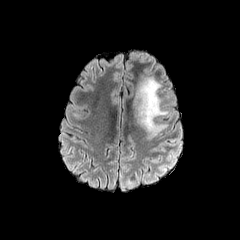
FLAIR MRI.
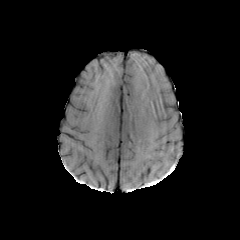
T1-weighted magnetic resonance of the same slice.
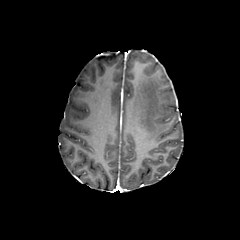
Post-contrast T1-weighted MR of the same slice.
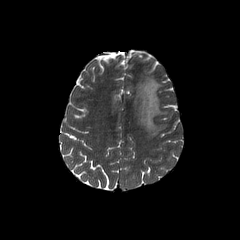
Same slice, T2-weighted MR.
Brain | Image size 240x240 | Axial view
<segmentation>
  <peritumoral_edema>left=133, top=74, right=168, bottom=139</peritumoral_edema>
</segmentation>